Image width 240 mm, 1.00 mm slice spacing, Slice index 82, Axial view
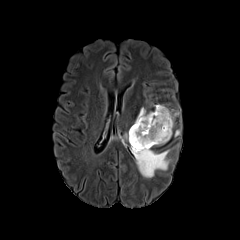
FLAIR MR image.
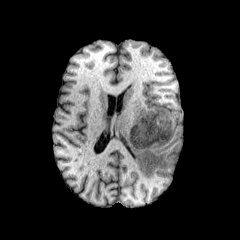
T1-weighted MR image.
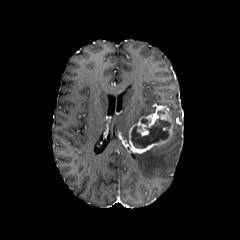
Post-contrast T1-weighted MRI.
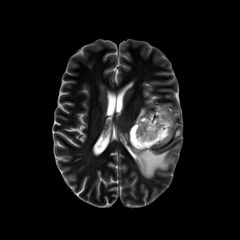
T2-weighted MRI of the same slice.
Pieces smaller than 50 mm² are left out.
{
  "peritumoral_edema": [
    "region(133, 149, 171, 178)",
    "region(134, 107, 154, 123)"
  ],
  "enhancing_tumor": [
    "region(129, 105, 173, 153)"
  ],
  "necrotic_tumor_core": [
    "region(131, 118, 170, 148)"
  ]
}